FLAIR MR image.
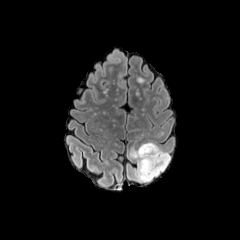
T1-weighted MR image.
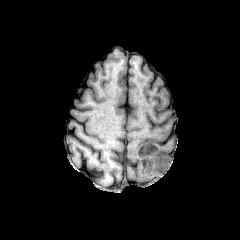
Post-contrast T1-weighted MR image.
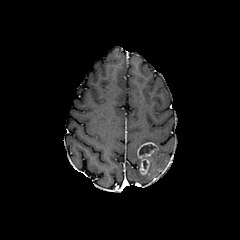
T2-weighted magnetic resonance.
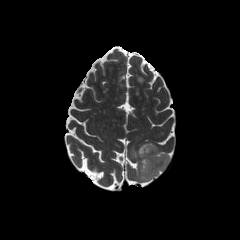
Head; 240x240
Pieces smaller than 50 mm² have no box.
enhancing_tumor:
  - [x1=137, y1=142, x2=158, y2=174]
peritumoral_edema:
  - [x1=129, y1=146, x2=169, y2=181]
necrotic_tumor_core:
  - [x1=139, y1=144, x2=156, y2=155]